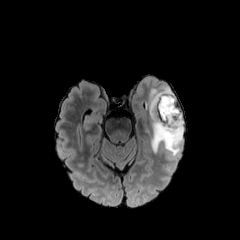
FLAIR MR.
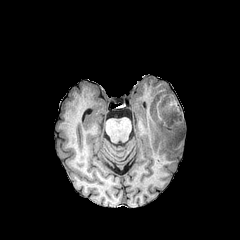
Same slice, T1-weighted magnetic resonance.
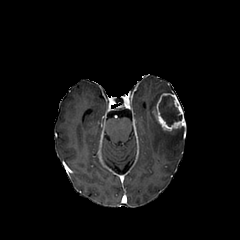
Same slice, post-contrast T1-weighted MR image.
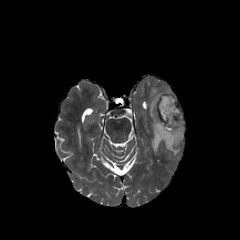
T2-weighted MR image.
Axial view
peritumoral edema: (x1=145, y1=87, x2=184, y2=156) | enhancing tumor: (x1=152, y1=93, x2=184, y2=131) | necrotic tumor core: (x1=159, y1=95, x2=182, y2=126)